FLAIR MR image.
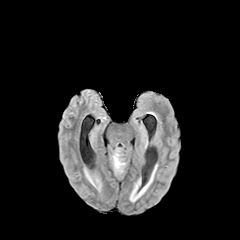
T1-weighted MR.
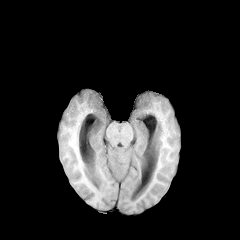
Post-contrast T1-weighted MR image.
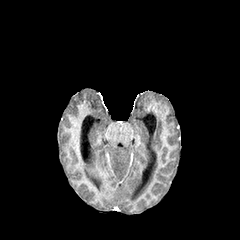
T2-weighted MR image.
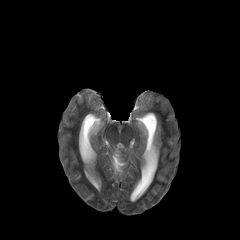
Axial slice | 240x240 | Brain
{"peritumoral_edema": ["112:149:125:173"]}